FLAIR magnetic resonance.
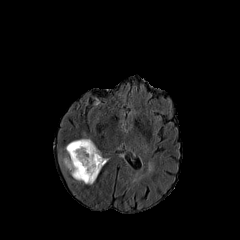
T1-weighted magnetic resonance.
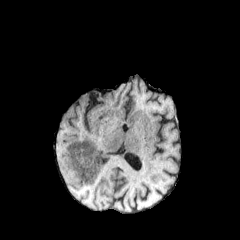
Post-contrast T1-weighted MR image.
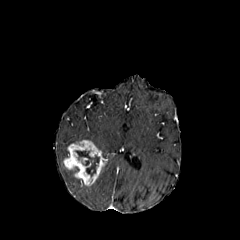
T2-weighted MR image.
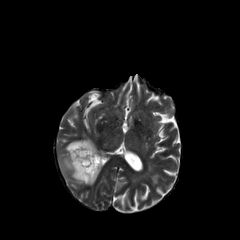
240x240 px, Axial view
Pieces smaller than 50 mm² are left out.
{"peritumoral_edema": ["(left=66, top=167, right=80, bottom=181)", "(left=59, top=138, right=91, bottom=167)"], "enhancing_tumor": ["(left=63, top=140, right=104, bottom=185)"], "necrotic_tumor_core": ["(left=75, top=150, right=99, bottom=176)"]}